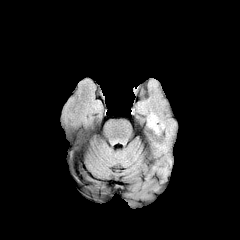
FLAIR MR image.
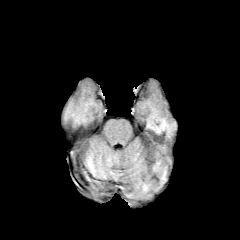
T1-weighted MRI.
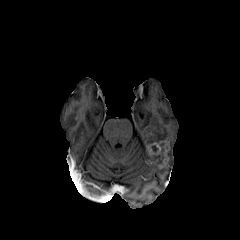
Same slice, post-contrast T1-weighted MRI.
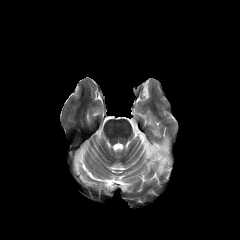
T2-weighted MR of the same slice.
Brain.
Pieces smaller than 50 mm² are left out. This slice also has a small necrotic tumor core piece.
peritumoral edema: 158 151 171 173, 151 144 164 170, 148 114 169 146
enhancing tumor: 147 139 169 168